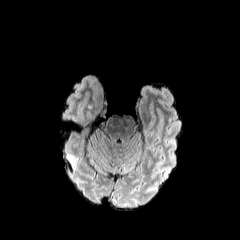
FLAIR MR.
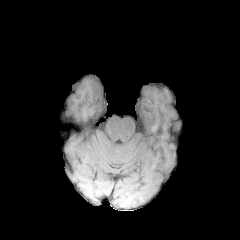
T1-weighted MRI.
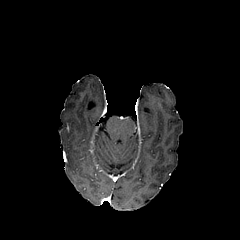
Post-contrast T1-weighted MRI of the same slice.
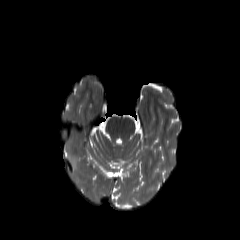
T2-weighted MR of the same slice.
Brain; 240x240 px; Axial view
Findings:
- peritumoral edema: (x1=68, y1=154, x2=76, y2=169)